Brain
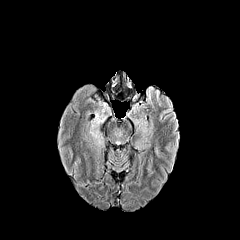
FLAIR MR image.
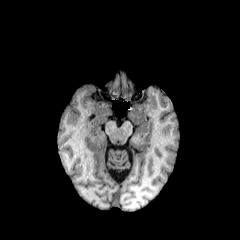
Same slice, T1-weighted MRI.
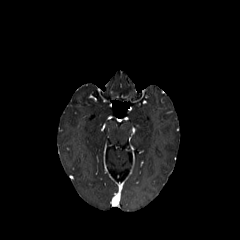
Post-contrast T1-weighted MR.
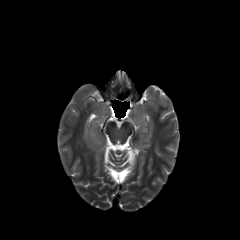
T2-weighted MR.
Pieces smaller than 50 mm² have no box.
peritumoral edema = (89, 130, 103, 144)